FLAIR MR.
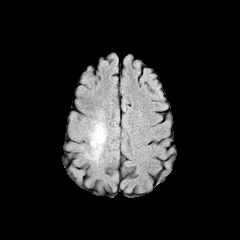
T1-weighted MR image.
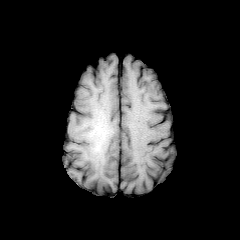
Post-contrast T1-weighted magnetic resonance.
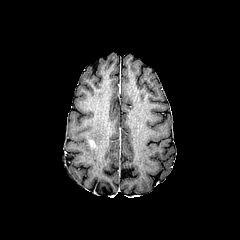
T2-weighted magnetic resonance.
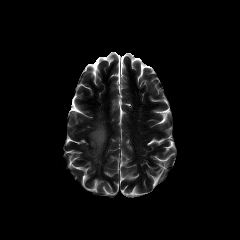
Head
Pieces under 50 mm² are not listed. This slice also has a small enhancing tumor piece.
peritumoral_edema:
  - {"x1": 79, "y1": 106, "x2": 108, "y2": 170}